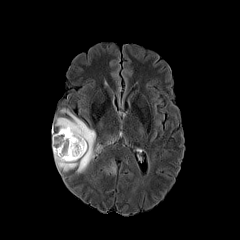
FLAIR MRI.
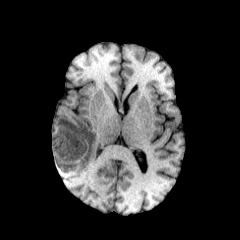
Same slice, T1-weighted MRI.
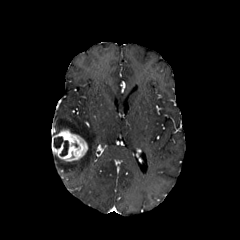
Same slice, post-contrast T1-weighted MR.
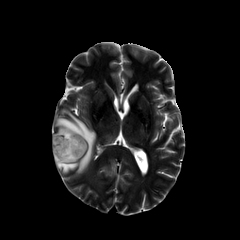
T2-weighted MR.
Axial view | Head | Image size 240x240
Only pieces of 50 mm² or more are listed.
The peritumoral edema appears at [x1=54, y1=109, x2=96, y2=173]. The largest necrotic tumor core region is located at [x1=54, y1=136, x2=68, y2=156]. The enhancing tumor is at [x1=52, y1=129, x2=87, y2=161].